Brain, Axial view
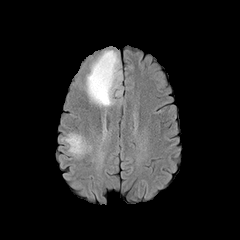
FLAIR MR.
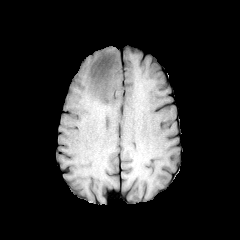
Same slice, T1-weighted MR.
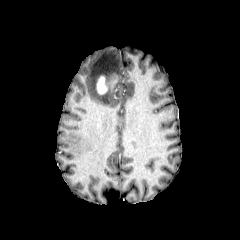
Post-contrast T1-weighted magnetic resonance.
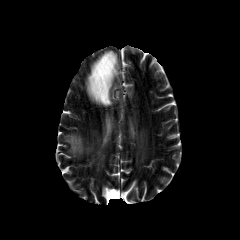
T2-weighted MR image.
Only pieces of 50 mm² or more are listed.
enhancing tumor — region(96, 75, 113, 94)
peritumoral edema — region(85, 50, 121, 106)